Brain, Slice 73/155, 240x240
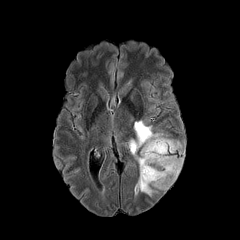
FLAIR MRI.
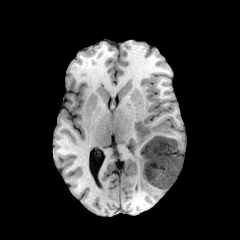
T1-weighted magnetic resonance.
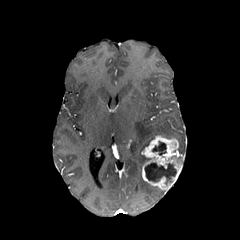
Post-contrast T1-weighted MR image.
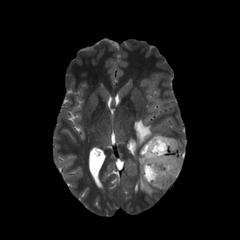
Same slice, T2-weighted MRI.
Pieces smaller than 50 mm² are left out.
The largest peritumoral edema region appears at bbox=[130, 120, 163, 196]. 2 necrotic tumor core regions are located at bbox=[145, 163, 176, 181]; bbox=[152, 142, 166, 154]. The enhancing tumor appears at bbox=[142, 135, 184, 191].